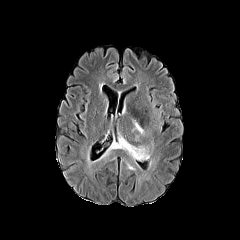
FLAIR magnetic resonance.
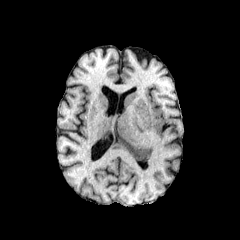
T1-weighted MRI.
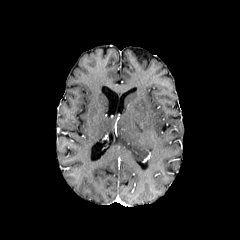
Post-contrast T1-weighted MRI.
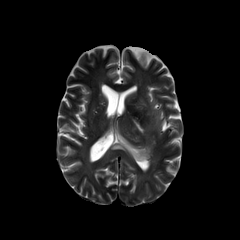
T2-weighted MR image.
Axial view.
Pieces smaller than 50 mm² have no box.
peritumoral edema = box(133, 119, 145, 136); box(104, 134, 150, 162)